FLAIR MR image.
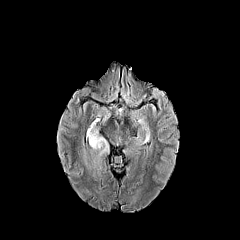
T1-weighted MR.
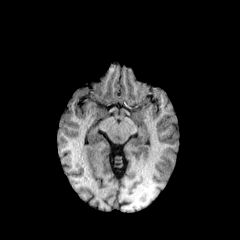
Post-contrast T1-weighted MR.
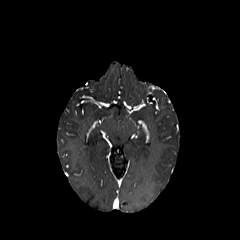
T2-weighted magnetic resonance.
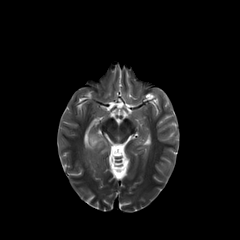
Brain.
peritumoral_edema:
  - (left=89, top=130, right=108, bottom=155)